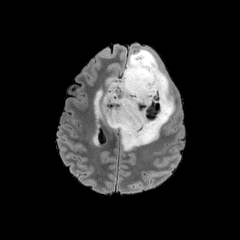
FLAIR MR.
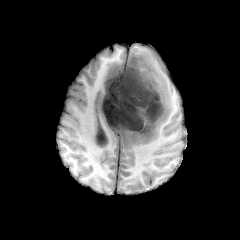
T1-weighted magnetic resonance.
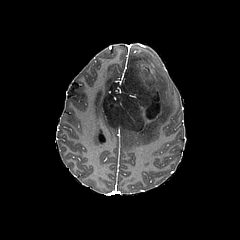
Post-contrast T1-weighted MRI.
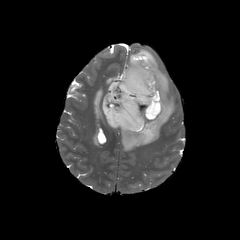
Same slice, T2-weighted MR.
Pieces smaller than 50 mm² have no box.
peritumoral edema = 94 89 105 120, 106 75 121 89, 119 48 174 150
necrotic tumor core = 102 55 164 133